FLAIR magnetic resonance.
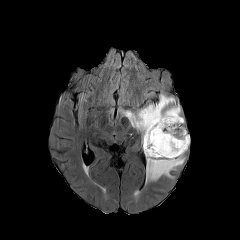
T1-weighted MR image.
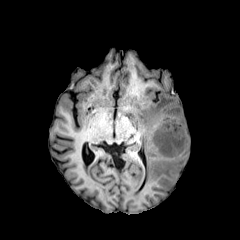
Post-contrast T1-weighted MR image.
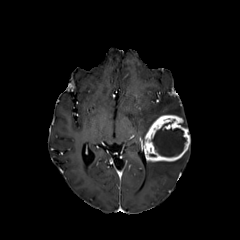
T2-weighted magnetic resonance.
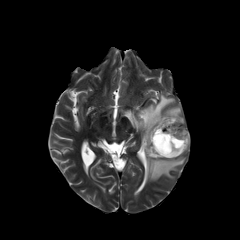
240x240 px | Brain
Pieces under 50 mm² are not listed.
- enhancing tumor: [x1=143, y1=114, x2=190, y2=161]
- necrotic tumor core: [x1=152, y1=127, x2=186, y2=156]
- peritumoral edema: [x1=125, y1=94, x2=181, y2=143], [x1=146, y1=155, x2=184, y2=181]